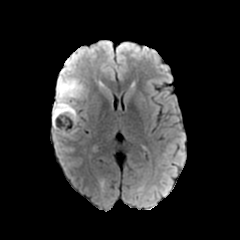
FLAIR MR image.
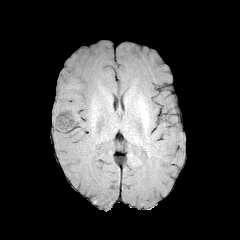
T1-weighted MR of the same slice.
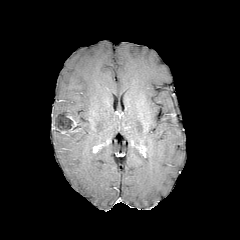
Same slice, post-contrast T1-weighted MR image.
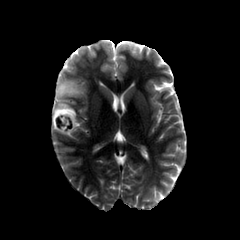
T2-weighted magnetic resonance of the same slice.
Axial view. 240x240. Brain.
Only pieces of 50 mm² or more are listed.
necrotic tumor core at (left=55, top=114, right=72, bottom=130)
peritumoral edema at (left=52, top=80, right=86, bottom=135)
enhancing tumor at (left=60, top=114, right=79, bottom=135)